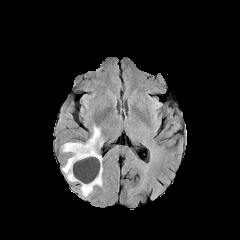
FLAIR MRI.
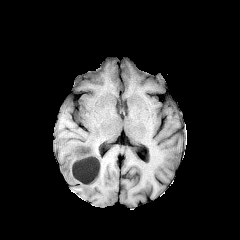
T1-weighted magnetic resonance.
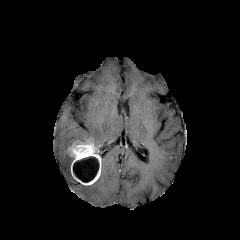
Post-contrast T1-weighted magnetic resonance.
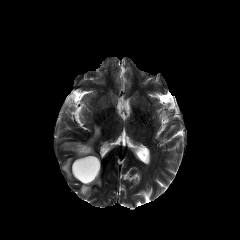
T2-weighted MR.
Image size 240x240; Brain
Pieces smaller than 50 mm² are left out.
The necrotic tumor core is at 73,156,99,182. The enhancing tumor appears at 69,141,101,185. The 4 largest peritumoral edema regions are located at 62,156,77,181; 62,142,82,153; 80,168,102,196; 86,125,102,148.